Image size 240x240 | Axial plane
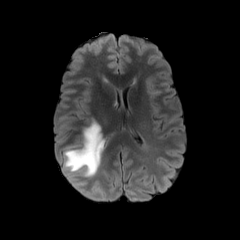
FLAIR MRI.
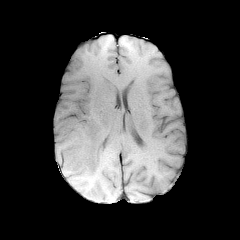
T1-weighted MRI of the same slice.
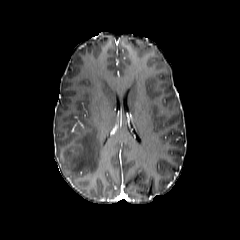
Post-contrast T1-weighted magnetic resonance of the same slice.
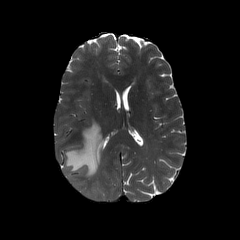
T2-weighted MR.
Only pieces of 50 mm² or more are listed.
peritumoral edema: (63,119,104,177)